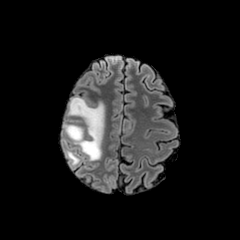
FLAIR MR image.
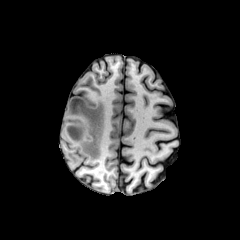
T1-weighted MR image.
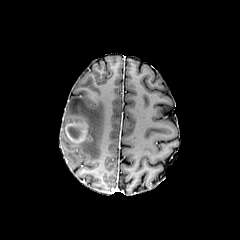
Post-contrast T1-weighted MR image of the same slice.
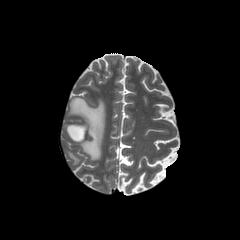
T2-weighted MR image.
Axial slice | Brain
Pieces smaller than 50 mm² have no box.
enhancing tumor: bounding box (left=65, top=122, right=88, bottom=143)
necrotic tumor core: bounding box (left=68, top=127, right=80, bottom=138)
peritumoral edema: bounding box (left=64, top=148, right=79, bottom=165), (left=67, top=97, right=104, bottom=160)